FLAIR MRI.
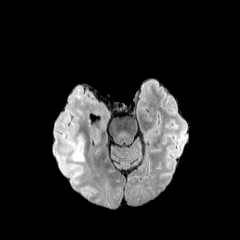
T1-weighted magnetic resonance.
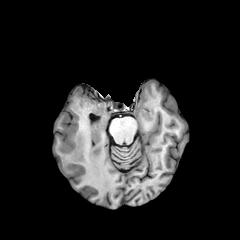
Post-contrast T1-weighted magnetic resonance.
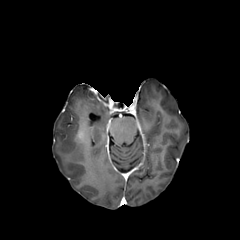
T2-weighted magnetic resonance.
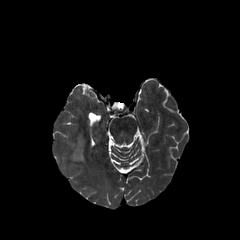
240x240 px, Brain
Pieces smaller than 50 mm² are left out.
* peritumoral edema: <box>70,135,84,161</box>
* enhancing tumor: <box>77,129,84,142</box>